Axial view
FLAIR magnetic resonance.
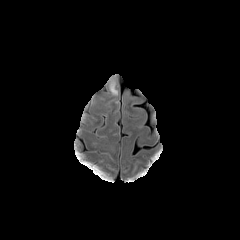
T1-weighted magnetic resonance.
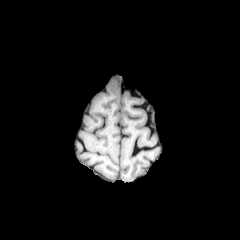
Post-contrast T1-weighted MRI.
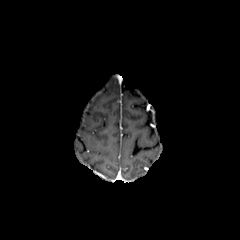
T2-weighted MR image.
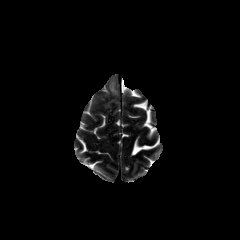
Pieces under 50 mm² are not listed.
{"peritumoral_edema": ["(108, 77, 119, 96)"]}